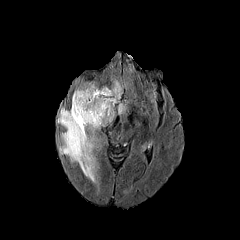
FLAIR magnetic resonance.
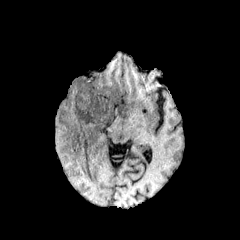
T1-weighted MR.
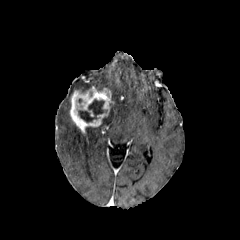
Same slice, post-contrast T1-weighted MR.
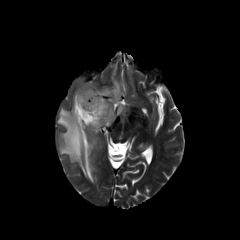
Same slice, T2-weighted MR.
240x240. Axial slice. Head.
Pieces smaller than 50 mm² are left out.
The largest necrotic tumor core region is at 78, 99, 104, 122. The enhancing tumor is located at 69, 86, 113, 133. 2 peritumoral edema regions are located at 76, 83, 108, 91; 57, 79, 125, 182.